Slice index 77, Image width 240 mm, Brain
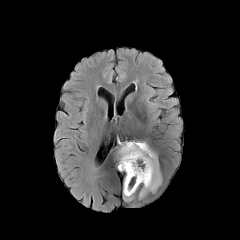
FLAIR MRI.
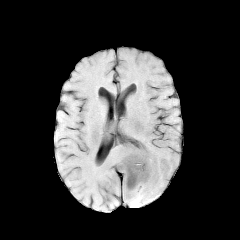
T1-weighted MR image.
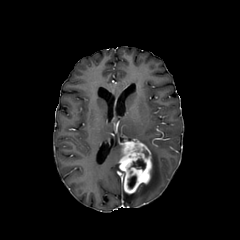
Post-contrast T1-weighted MRI.
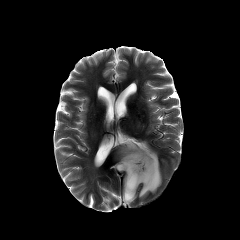
T2-weighted magnetic resonance.
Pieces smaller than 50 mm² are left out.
The 2 largest peritumoral edema regions appear at bbox(123, 184, 135, 202); bbox(138, 141, 161, 198). The 2 largest necrotic tumor core regions appear at bbox(131, 159, 145, 169); bbox(128, 176, 136, 188). The enhancing tumor lies within bbox(119, 140, 152, 193).